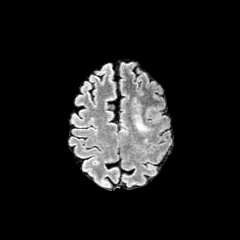
FLAIR MR image.
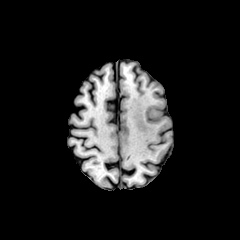
T1-weighted MRI.
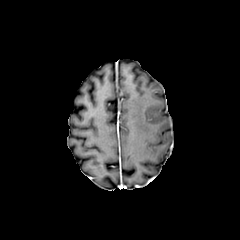
Same slice, post-contrast T1-weighted magnetic resonance.
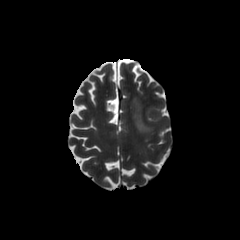
T2-weighted MR.
240x240 px, Axial slice
Segmented structures:
• peritumoral edema: 133 98 152 137